FLAIR MR image.
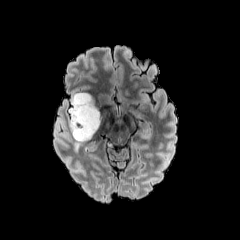
T1-weighted magnetic resonance.
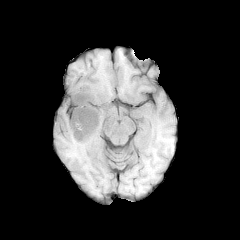
Post-contrast T1-weighted MR image.
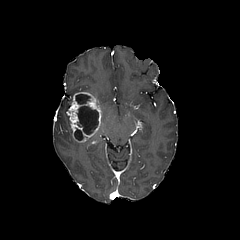
T2-weighted MR.
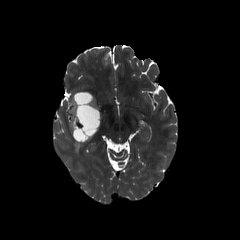
Image size 240x240
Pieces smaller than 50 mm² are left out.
The largest peritumoral edema region is bounded by <box>74,140,81,151</box>. 3 necrotic tumor core regions are located at <box>74,128,83,140</box>, <box>76,94,90,104</box>, <box>77,106,98,134</box>. The enhancing tumor appears at <box>69,91,101,142</box>.